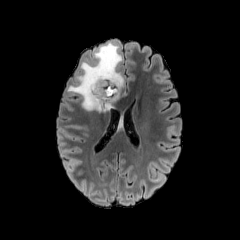
FLAIR magnetic resonance.
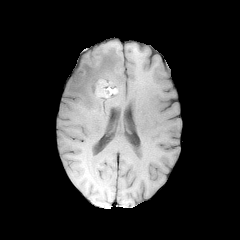
T1-weighted MR image.
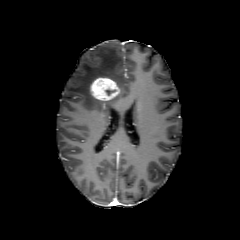
Post-contrast T1-weighted MR.
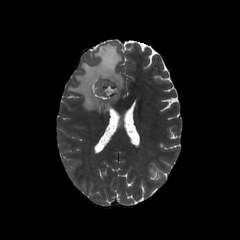
T2-weighted MR of the same slice.
peritumoral edema: 67, 43, 124, 112
enhancing tumor: 90, 77, 120, 100
necrotic tumor core: 97, 80, 117, 96